Axial plane. Slice 92/155.
FLAIR MR.
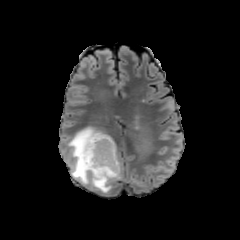
T1-weighted magnetic resonance.
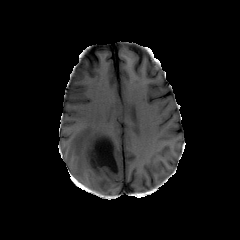
Post-contrast T1-weighted MR.
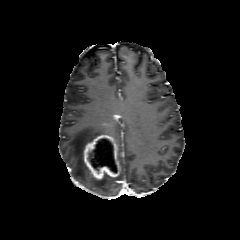
T2-weighted MR image.
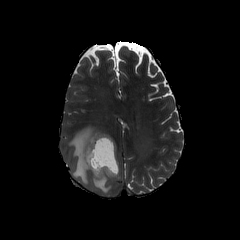
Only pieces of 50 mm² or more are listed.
<segmentation>
  <peritumoral_edema>left=67, top=126, right=121, bottom=193</peritumoral_edema>
  <necrotic_tumor_core>left=91, top=138, right=117, bottom=172</necrotic_tumor_core>
  <enhancing_tumor>left=83, top=135, right=120, bottom=179</enhancing_tumor>
</segmentation>